Image size 240x240 | Slice 93/155
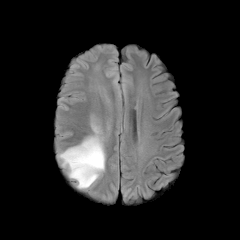
FLAIR magnetic resonance.
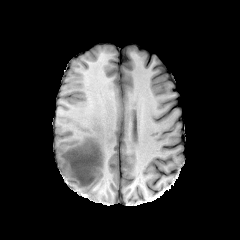
T1-weighted MRI.
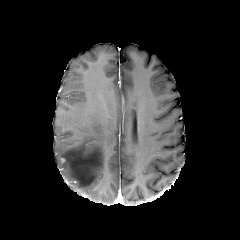
Post-contrast T1-weighted magnetic resonance.
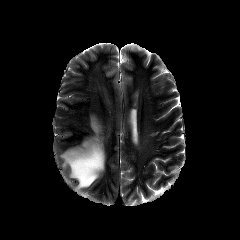
Same slice, T2-weighted MR image.
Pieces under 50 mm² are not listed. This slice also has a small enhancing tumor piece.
peritumoral edema: [59,118,105,188]